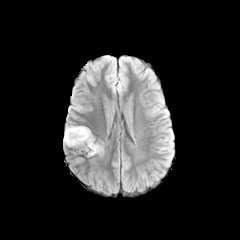
FLAIR MR.
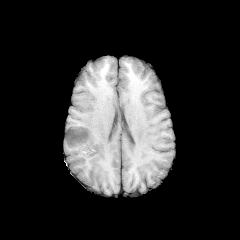
T1-weighted MR of the same slice.
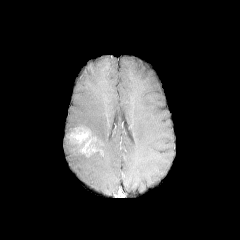
Same slice, post-contrast T1-weighted MR image.
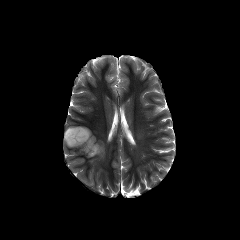
T2-weighted MR.
Axial plane
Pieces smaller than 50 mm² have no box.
The largest peritumoral edema region lies within 64, 126, 83, 146. The enhancing tumor appears at 66, 127, 102, 156.